Slice 110/155
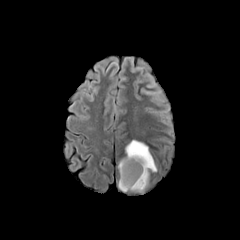
FLAIR magnetic resonance.
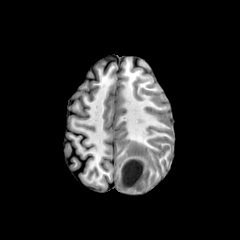
T1-weighted magnetic resonance.
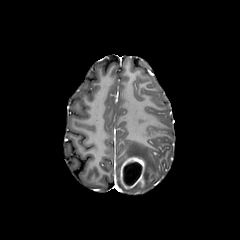
Same slice, post-contrast T1-weighted magnetic resonance.
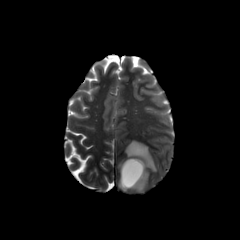
Same slice, T2-weighted MRI.
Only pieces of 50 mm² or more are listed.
- enhancing tumor: 120,157,144,189
- necrotic tumor core: 132,182,143,191; 123,162,142,185
- peritumoral edema: 118,140,156,191